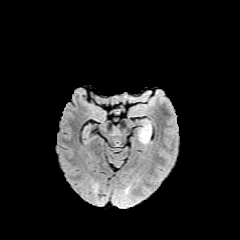
FLAIR MRI.
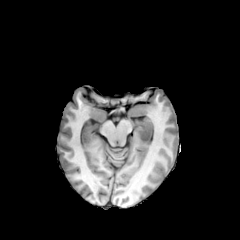
T1-weighted MRI.
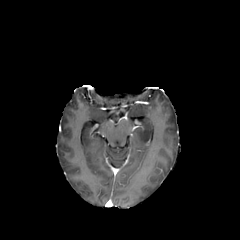
Post-contrast T1-weighted MRI.
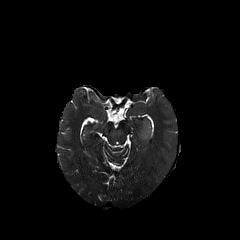
T2-weighted MR image.
Brain
peritumoral edema: bbox(139, 127, 150, 143)